FLAIR MRI.
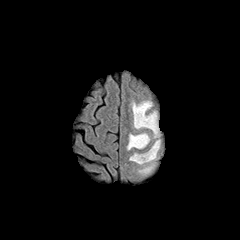
T1-weighted MR image.
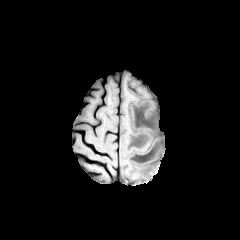
Post-contrast T1-weighted magnetic resonance.
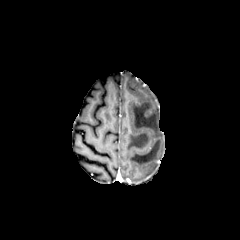
T2-weighted MRI.
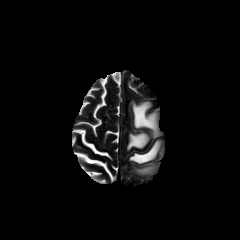
240x240. Axial view.
4 peritumoral edema regions appear at [129,139,161,164], [127,132,150,150], [137,164,155,174], [131,101,159,138].